Brain. Axial slice. Slice index 75. Image covers 240 mm x 240 mm.
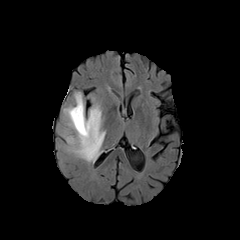
FLAIR MRI.
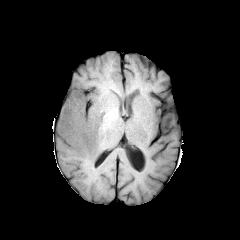
T1-weighted magnetic resonance of the same slice.
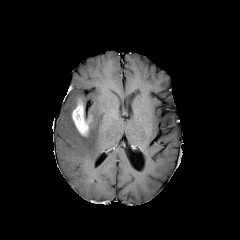
Post-contrast T1-weighted magnetic resonance.
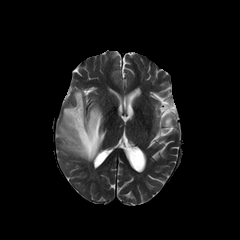
T2-weighted MRI of the same slice.
peritumoral edema: [58, 91, 105, 162]
enhancing tumor: [71, 97, 92, 136]